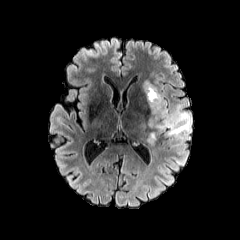
FLAIR magnetic resonance.
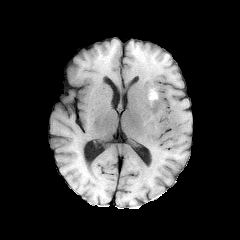
T1-weighted MRI of the same slice.
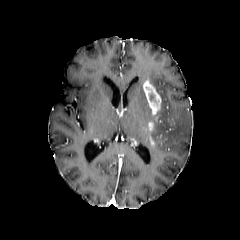
Post-contrast T1-weighted MRI of the same slice.
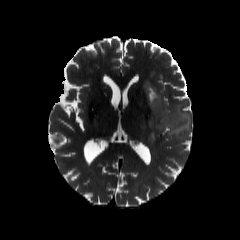
T2-weighted MRI.
240x240, Brain, Axial plane
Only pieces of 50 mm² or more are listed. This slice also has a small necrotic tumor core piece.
peritumoral_edema:
  - bbox=[149, 95, 191, 143]
enhancing_tumor:
  - bbox=[147, 121, 155, 145]
  - bbox=[143, 80, 162, 114]